Image size 240x240
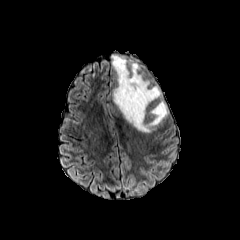
FLAIR MR.
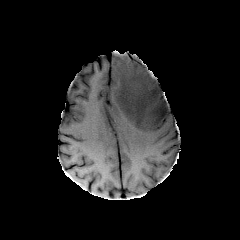
T1-weighted magnetic resonance of the same slice.
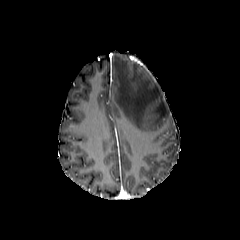
Same slice, post-contrast T1-weighted MR.
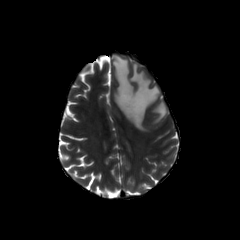
T2-weighted magnetic resonance.
peritumoral edema: (left=112, top=55, right=168, bottom=132)